Slice 123 of 155, Image width 240 mm
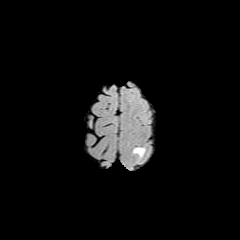
FLAIR MR.
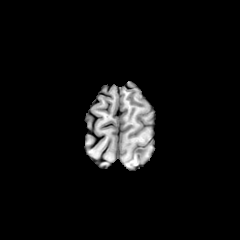
Same slice, T1-weighted MR image.
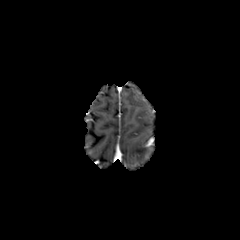
Same slice, post-contrast T1-weighted magnetic resonance.
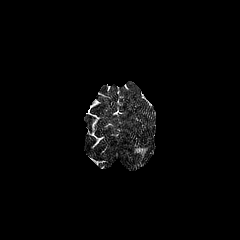
Same slice, T2-weighted MR.
Findings:
• peritumoral edema: (133, 148, 144, 156)